Slice 77 of 155; Axial plane
FLAIR MR image.
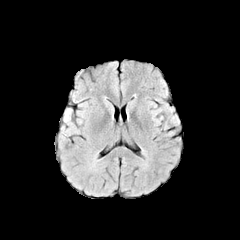
T1-weighted magnetic resonance.
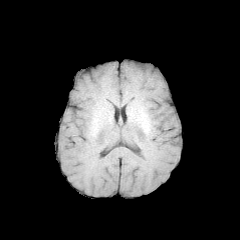
Post-contrast T1-weighted MR.
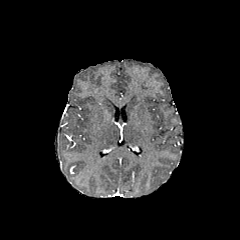
T2-weighted MR.
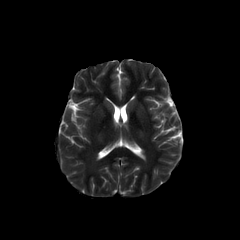
peritumoral edema: [x1=62, y1=108, x2=70, y2=121]